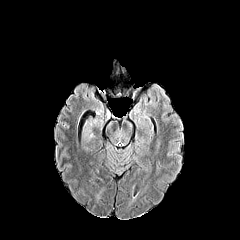
FLAIR magnetic resonance.
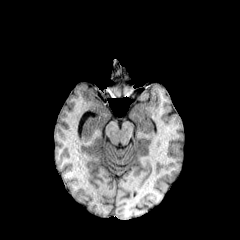
T1-weighted MR of the same slice.
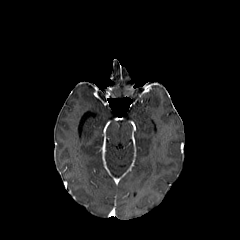
Post-contrast T1-weighted MRI.
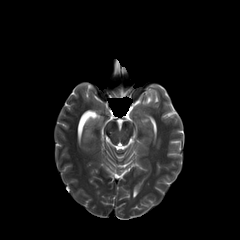
Same slice, T2-weighted magnetic resonance.
Brain; Axial plane
The peritumoral edema is bounded by (85,130,92,138).